Slice 94/155, Brain
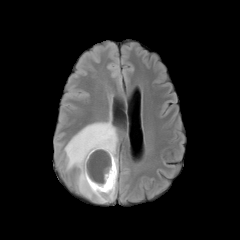
FLAIR magnetic resonance.
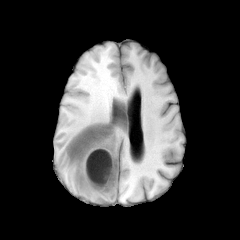
T1-weighted MRI of the same slice.
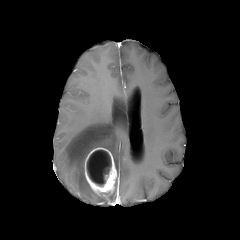
Post-contrast T1-weighted MR image.
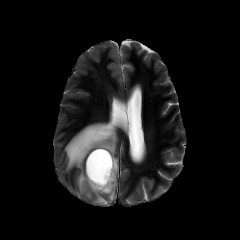
Same slice, T2-weighted MR.
<segmentation>
  <peritumoral_edema>64 119 118 202</peritumoral_edema>
  <enhancing_tumor>85 147 116 194</enhancing_tumor>
  <necrotic_tumor_core>87 150 111 185</necrotic_tumor_core>
</segmentation>